Image covers 240 mm x 240 mm, Head, Slice 55 of 155, Axial plane
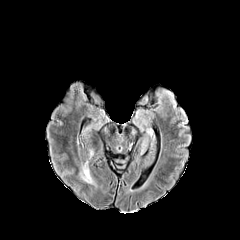
FLAIR magnetic resonance.
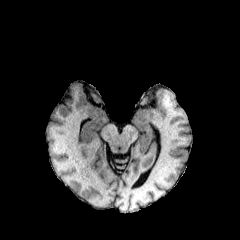
T1-weighted magnetic resonance.
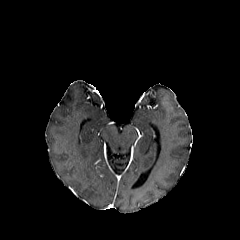
Post-contrast T1-weighted MR.
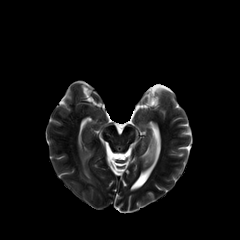
T2-weighted MR.
peritumoral edema: bounding box 83,167,91,182